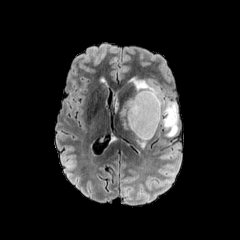
FLAIR magnetic resonance.
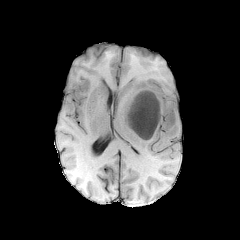
T1-weighted magnetic resonance of the same slice.
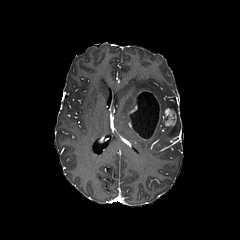
Same slice, post-contrast T1-weighted MR image.
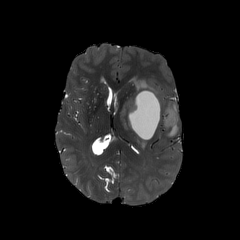
Same slice, T2-weighted MR image.
Brain, Axial slice
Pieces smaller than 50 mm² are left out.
<segmentation>
  <necrotic_tumor_core>bbox=[129, 92, 159, 138]</necrotic_tumor_core>
  <peritumoral_edema>bbox=[164, 101, 178, 136]; bbox=[132, 78, 160, 104]; bbox=[120, 98, 133, 130]</peritumoral_edema>
  <enhancing_tumor>bbox=[128, 90, 176, 126]</enhancing_tumor>
</segmentation>